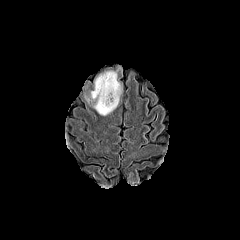
FLAIR MR image.
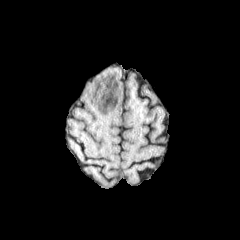
Same slice, T1-weighted MR image.
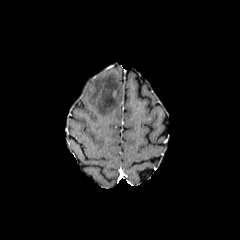
Post-contrast T1-weighted MR image of the same slice.
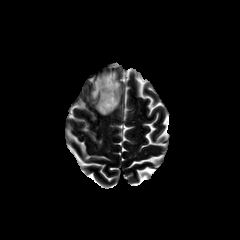
T2-weighted MRI.
Axial plane; Brain
The peritumoral edema is located at rect(87, 71, 121, 115).